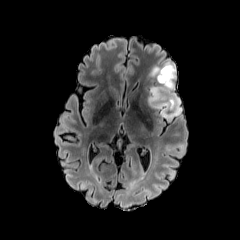
FLAIR MR image.
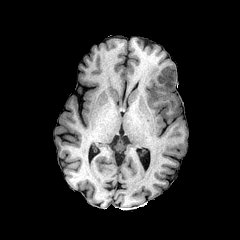
T1-weighted MRI.
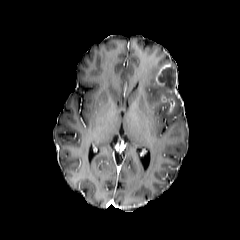
Same slice, post-contrast T1-weighted MR.
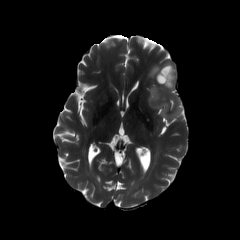
T2-weighted MRI of the same slice.
Brain. Axial view.
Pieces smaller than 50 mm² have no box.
peritumoral edema — 147,64,181,119
necrotic tumor core — 158,67,175,88
enhancing tumor — 156,64,177,92; 161,95,175,111